FLAIR magnetic resonance.
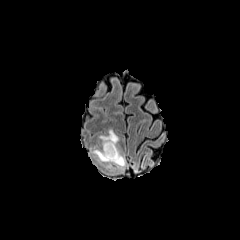
T1-weighted MR.
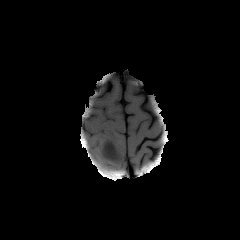
Post-contrast T1-weighted MR image.
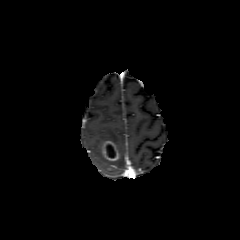
T2-weighted MR.
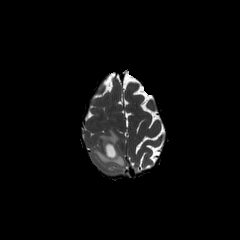
Head; Axial plane; 240x240
The enhancing tumor is at <box>101,140,120,161</box>. 2 peritumoral edema regions are located at <box>95,146,125,166</box>, <box>100,129,119,145</box>. The necrotic tumor core appears at <box>106,144,115,158</box>.